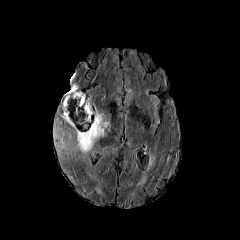
FLAIR MRI.
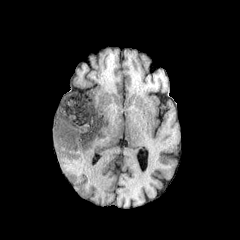
T1-weighted MRI.
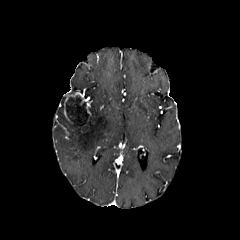
Post-contrast T1-weighted MR.
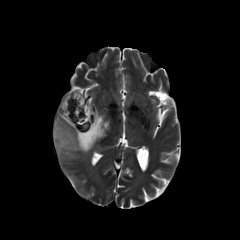
T2-weighted MR.
Axial slice
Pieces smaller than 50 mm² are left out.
{"necrotic_tumor_core": ["[66,96,91,131]"], "enhancing_tumor": ["[64,90,91,123]"], "peritumoral_edema": ["[53,107,109,155]"]}